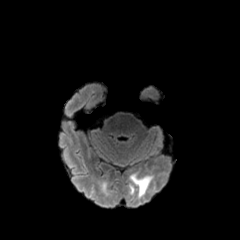
FLAIR MR.
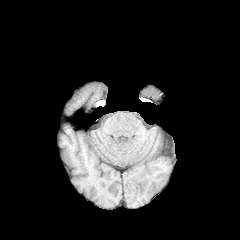
T1-weighted MR image.
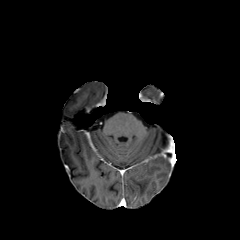
Same slice, post-contrast T1-weighted magnetic resonance.
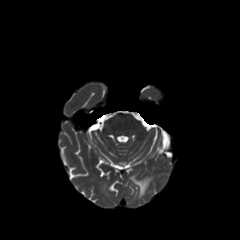
T2-weighted MR.
240x240
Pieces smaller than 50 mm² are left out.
peritumoral edema: <box>130,175,152,197</box>